FLAIR MR image.
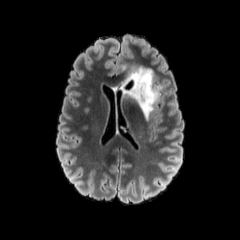
T1-weighted magnetic resonance.
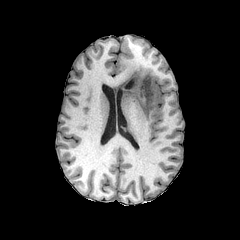
Post-contrast T1-weighted MRI.
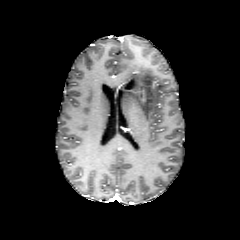
T2-weighted magnetic resonance.
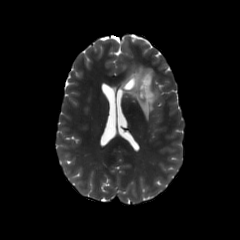
Axial view; Image size 240x240
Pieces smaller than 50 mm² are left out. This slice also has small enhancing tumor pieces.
<segmentation>
  <necrotic_tumor_core>l=125, t=80, r=134, b=89</necrotic_tumor_core>
  <peritumoral_edema>l=120, t=66, r=161, b=119</peritumoral_edema>
</segmentation>